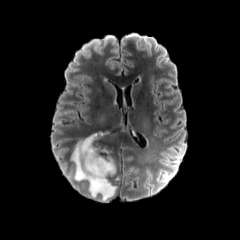
FLAIR MR.
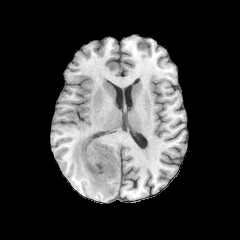
Same slice, T1-weighted MRI.
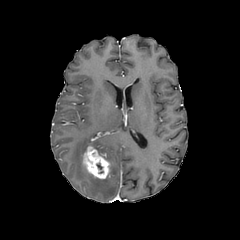
Post-contrast T1-weighted MR image.
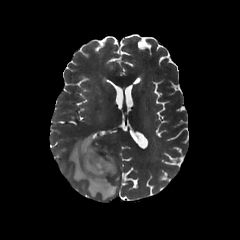
T2-weighted MR of the same slice.
Head. Axial plane.
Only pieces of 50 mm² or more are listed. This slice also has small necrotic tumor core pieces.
enhancing tumor: rect(83, 146, 111, 179) | peritumoral edema: rect(99, 150, 115, 174); rect(71, 135, 116, 200)